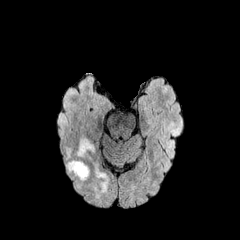
FLAIR MR image.
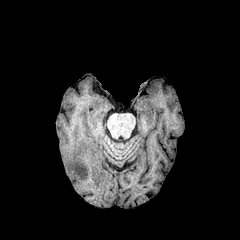
T1-weighted magnetic resonance.
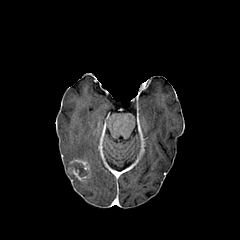
Post-contrast T1-weighted magnetic resonance.
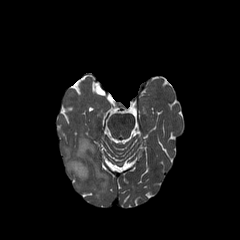
T2-weighted magnetic resonance.
Image size 240x240
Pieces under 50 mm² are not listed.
enhancing_tumor:
  - box(69, 159, 89, 180)
peritumoral_edema:
  - box(66, 148, 84, 188)
  - box(94, 162, 107, 192)
  - box(75, 138, 95, 159)
necrotic_tumor_core:
  - box(71, 163, 85, 176)